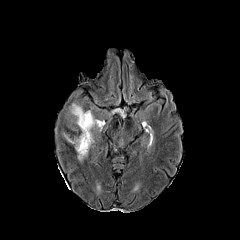
FLAIR magnetic resonance.
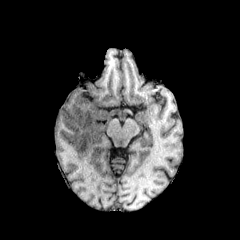
T1-weighted MR.
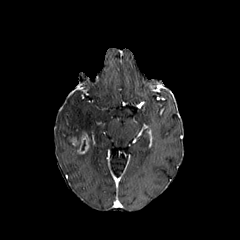
Post-contrast T1-weighted MR image.
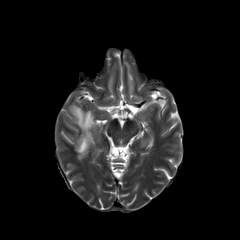
T2-weighted magnetic resonance.
Image size 240x240
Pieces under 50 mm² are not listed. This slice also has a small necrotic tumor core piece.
peritumoral_edema:
  - (69, 103, 99, 166)
enhancing_tumor:
  - (70, 132, 89, 154)